Axial view. Head. Image width 240 mm.
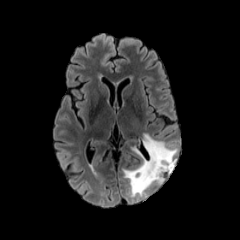
FLAIR MR.
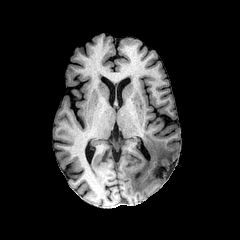
Same slice, T1-weighted magnetic resonance.
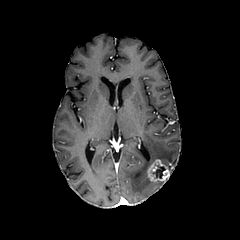
Post-contrast T1-weighted magnetic resonance.
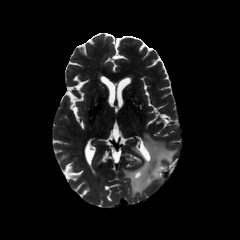
T2-weighted MR image.
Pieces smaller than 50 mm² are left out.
<segmentation>
  <enhancing_tumor>147,159,173,181</enhancing_tumor>
  <necrotic_tumor_core>153,165,165,178</necrotic_tumor_core>
  <peritumoral_edema>123,133,177,197</peritumoral_edema>
</segmentation>